Axial view; Image size 240x240; Brain
FLAIR MRI.
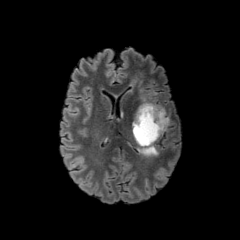
T1-weighted MR.
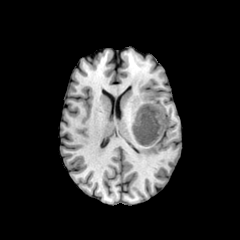
Post-contrast T1-weighted MR image.
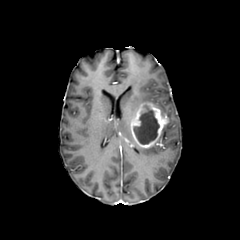
T2-weighted MR image.
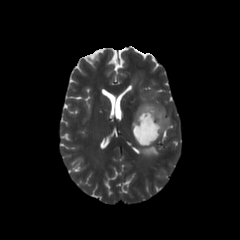
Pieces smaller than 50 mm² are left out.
The necrotic tumor core is located at box(134, 106, 159, 144). The 2 largest peritumoral edema regions appear at box(130, 72, 166, 114); box(139, 144, 158, 156). The enhancing tumor appears at box(131, 103, 168, 147).